Brain; Slice 82/155; Image size 240x240; Axial view
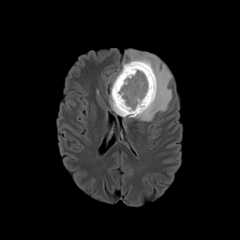
FLAIR MRI.
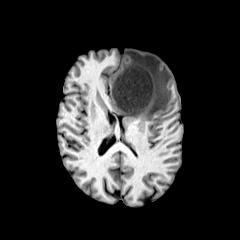
T1-weighted MR of the same slice.
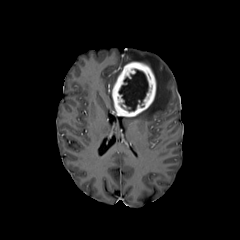
Same slice, post-contrast T1-weighted magnetic resonance.
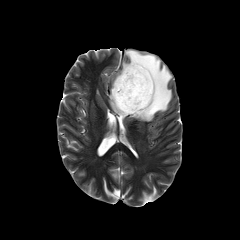
T2-weighted MR image of the same slice.
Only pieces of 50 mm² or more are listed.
The largest enhancing tumor region lies within x1=112 y1=62 x2=156 y2=116. The largest necrotic tumor core region is located at x1=119 y1=69 x2=148 y2=111. 2 peritumoral edema regions are bounded by x1=109 y1=70 x2=121 y2=112, x1=122 y1=50 x2=172 y2=121.